FLAIR MR.
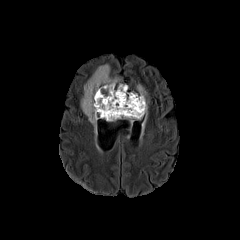
T1-weighted MRI.
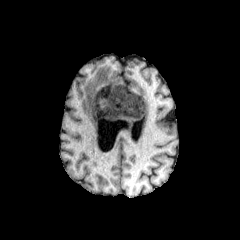
Post-contrast T1-weighted MR.
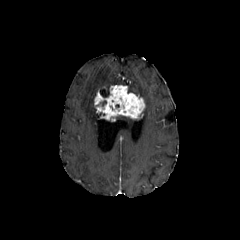
T2-weighted MRI.
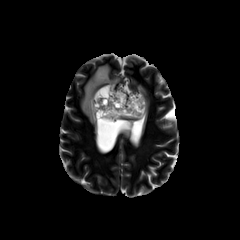
Head
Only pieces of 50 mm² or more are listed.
{"necrotic_tumor_core": ["left=100, top=86, right=109, bottom=97"], "enhancing_tumor": ["left=94, top=85, right=145, bottom=121"], "peritumoral_edema": ["left=130, top=84, right=148, bottom=128", "left=116, top=116, right=139, bottom=123", "left=81, top=64, right=119, bottom=130"]}